Slice index 105, Axial slice, Image width 240 mm
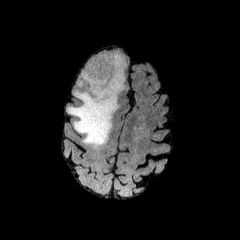
FLAIR MRI.
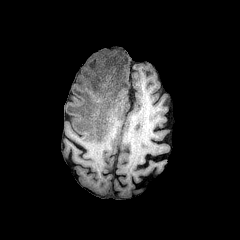
T1-weighted MR image.
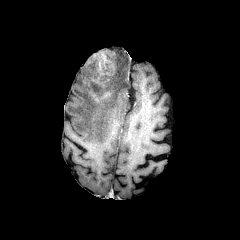
Post-contrast T1-weighted magnetic resonance of the same slice.
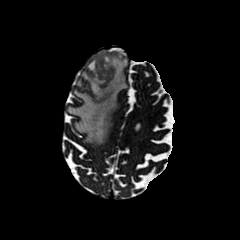
T2-weighted MR image.
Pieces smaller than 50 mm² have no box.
The largest peritumoral edema region lies within <bbox>67, 50, 127, 147</bbox>. 2 enhancing tumor regions are located at <bbox>102, 90, 110, 97</bbox>, <bbox>89, 50, 116, 85</bbox>.